Head. Image covers 240 mm x 240 mm. Slice 95 of 155.
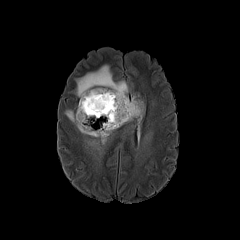
FLAIR MR.
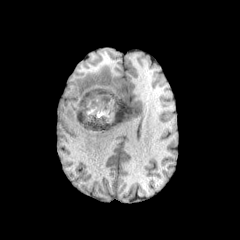
Same slice, T1-weighted MR image.
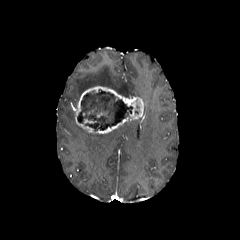
Post-contrast T1-weighted MRI.
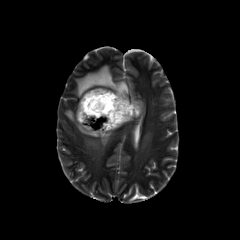
Same slice, T2-weighted MR.
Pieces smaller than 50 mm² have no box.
{"enhancing_tumor": ["74:86:144:133"], "necrotic_tumor_core": ["77:90:132:130"], "peritumoral_edema": ["65:110:114:144", "76:65:128:97"]}